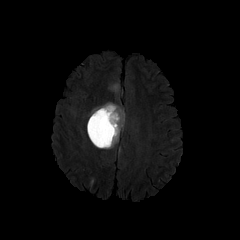
FLAIR MR.
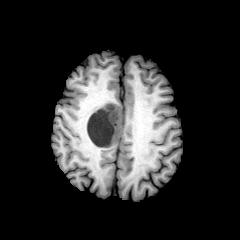
T1-weighted magnetic resonance of the same slice.
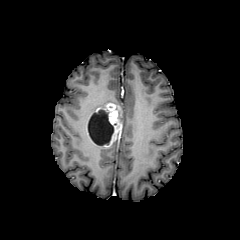
Post-contrast T1-weighted MR image of the same slice.
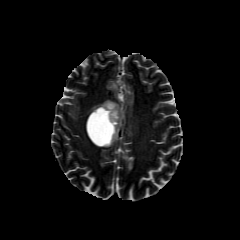
T2-weighted magnetic resonance.
Brain
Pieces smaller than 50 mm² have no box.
<segmentation>
  <necrotic_tumor_core>88 109 113 145</necrotic_tumor_core>
  <peritumoral_edema>108 84 119 91, 120 106 125 126</peritumoral_edema>
  <enhancing_tumor>94 103 122 147</enhancing_tumor>
</segmentation>